Image width 240 mm, Axial plane, Image size 240x240
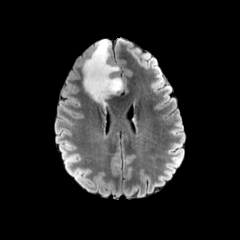
FLAIR MRI.
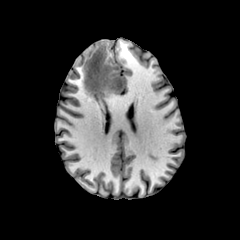
T1-weighted MR.
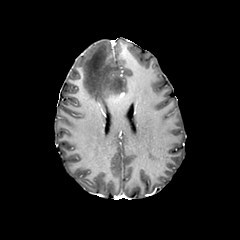
Post-contrast T1-weighted MR image of the same slice.
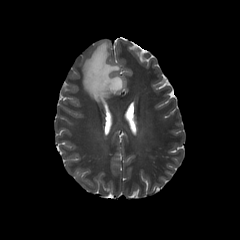
T2-weighted MR.
peritumoral edema — {"x1": 83, "y1": 40, "x2": 123, "y2": 104}